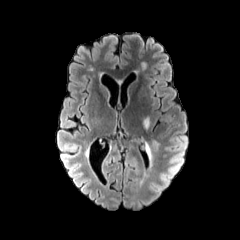
FLAIR magnetic resonance.
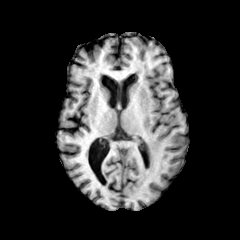
T1-weighted magnetic resonance.
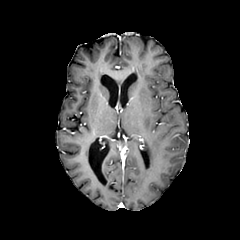
Post-contrast T1-weighted MRI.
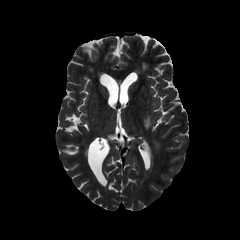
T2-weighted MRI.
240x240 px | Axial view
{
  "peritumoral_edema": [
    "[144, 117, 149, 128]",
    "[142, 139, 158, 183]"
  ]
}